Slice 99/155; Head; Image covers 240 mm x 240 mm; Axial view
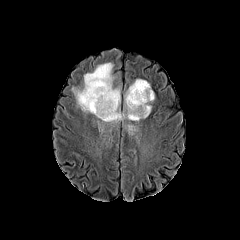
FLAIR MRI.
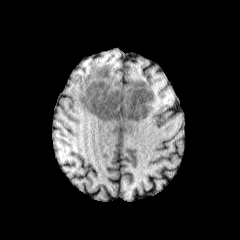
T1-weighted MR of the same slice.
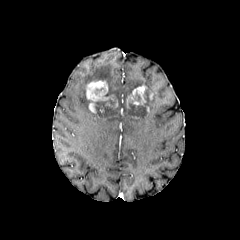
Same slice, post-contrast T1-weighted MR.
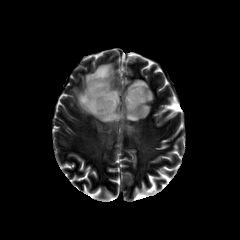
T2-weighted MR image.
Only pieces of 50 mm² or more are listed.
necrotic tumor core — 144 89 150 102, 89 87 116 111, 123 100 148 117
enhancing tumor — 86 80 109 101, 89 102 96 113, 127 84 147 107
peritumoral edema — 72 63 154 125, 127 124 135 134